240x240 | Image width 240 mm | Head | Axial plane | Slice 135 of 155
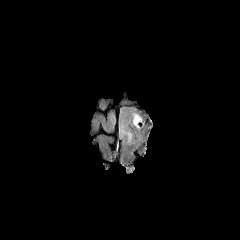
FLAIR MR.
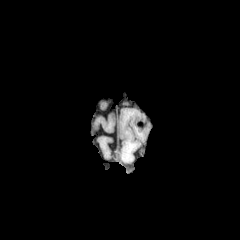
T1-weighted MR of the same slice.
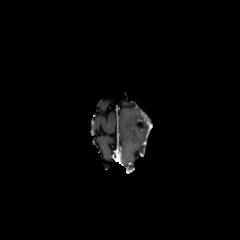
Post-contrast T1-weighted MRI.
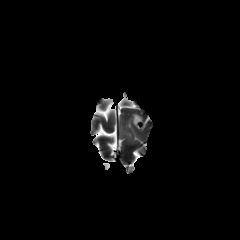
T2-weighted MRI.
{
  "peritumoral_edema": [
    "<box>119,127,131,142</box>"
  ]
}